FLAIR MR image.
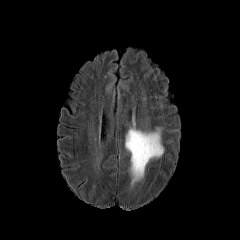
T1-weighted MR.
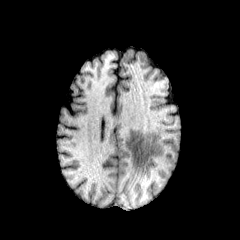
Post-contrast T1-weighted MRI.
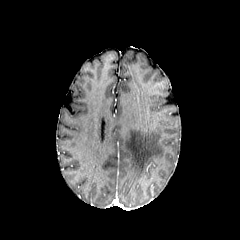
T2-weighted MR.
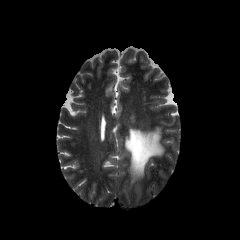
Brain
peritumoral edema: bounding box [x1=125, y1=127, x2=164, y2=184]